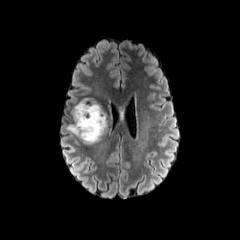
FLAIR MRI.
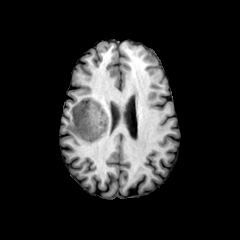
T1-weighted magnetic resonance.
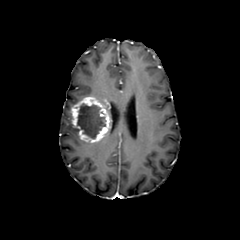
Post-contrast T1-weighted MR image.
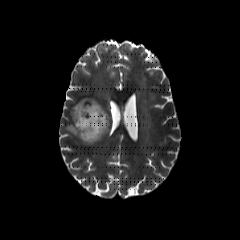
T2-weighted MRI of the same slice.
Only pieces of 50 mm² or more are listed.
necrotic_tumor_core:
  - (77,103,105,138)
enhancing_tumor:
  - (71,97,109,142)
peritumoral_edema:
  - (65,120,78,137)